Slice index 102. Image covers 240 mm x 240 mm.
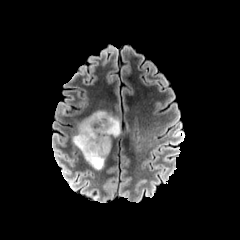
FLAIR MR image.
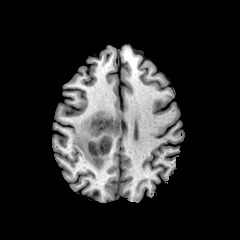
T1-weighted MR.
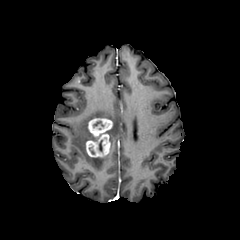
Same slice, post-contrast T1-weighted MR.
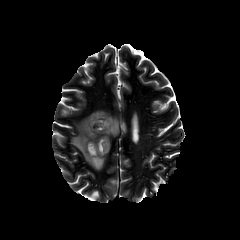
T2-weighted MRI of the same slice.
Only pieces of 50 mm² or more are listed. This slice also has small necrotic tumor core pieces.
{"peritumoral_edema": ["72:111:120:170"], "enhancing_tumor": ["88:118:112:137", "86:134:110:157"]}